Head | Image covers 240 mm x 240 mm
FLAIR MR image.
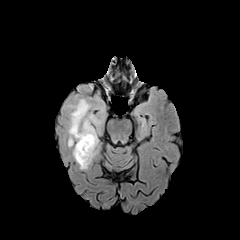
T1-weighted MRI.
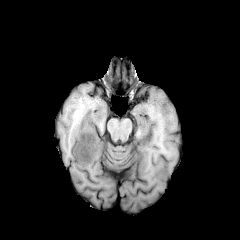
Post-contrast T1-weighted MR image.
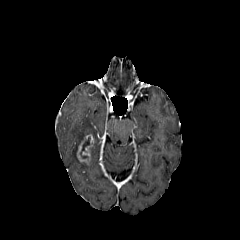
T2-weighted MR.
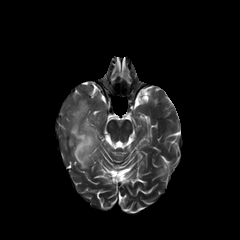
The enhancing tumor is bounded by 77, 134, 94, 163. The peritumoral edema is bounded by 56, 85, 106, 169. The necrotic tumor core lies within 80, 137, 90, 158.